Slice 118/155, Head, Axial view
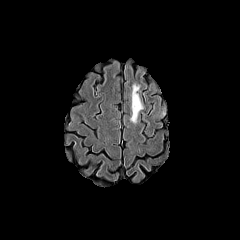
FLAIR MRI.
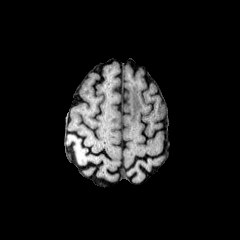
Same slice, T1-weighted MR.
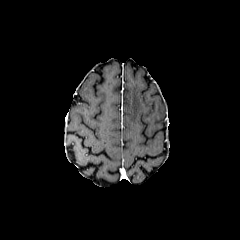
Same slice, post-contrast T1-weighted MR.
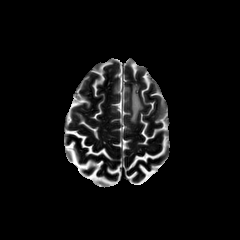
T2-weighted magnetic resonance.
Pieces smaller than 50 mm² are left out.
peritumoral_edema:
  - bbox(130, 84, 143, 123)